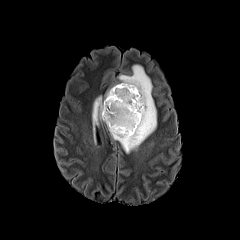
FLAIR MR.
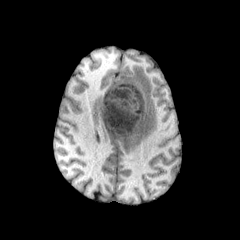
T1-weighted MR image.
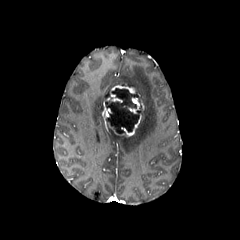
Same slice, post-contrast T1-weighted MRI.
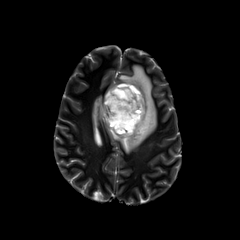
Same slice, T2-weighted MR.
Head | Axial view
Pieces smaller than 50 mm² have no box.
{"enhancing_tumor": ["x1=128, y1=97, x2=143, y2=113", "x1=106, y1=85, x2=135, y2=102", "x1=102, y1=101, x2=141, y2=136"], "necrotic_tumor_core": ["x1=105, y1=88, x2=141, y2=133"], "peritumoral_edema": ["x1=108, y1=65, x2=156, y2=153", "x1=92, y1=96, x2=103, y2=126"]}